FLAIR MR image.
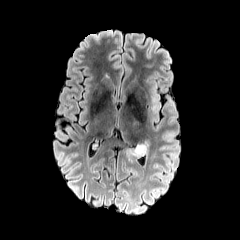
T1-weighted MR.
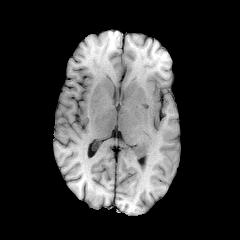
Post-contrast T1-weighted MRI.
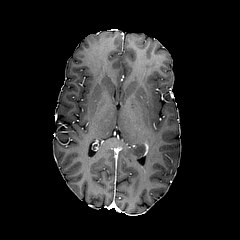
T2-weighted MR image.
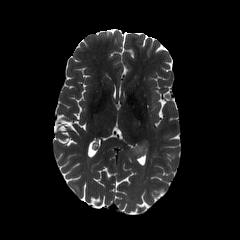
Brain | 240x240 px
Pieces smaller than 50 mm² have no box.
peritumoral edema: l=134, t=144, r=145, b=156